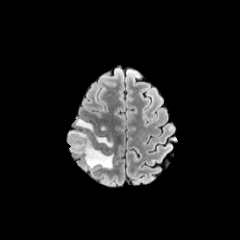
FLAIR MRI.
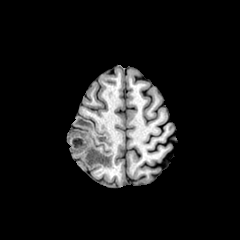
T1-weighted MRI.
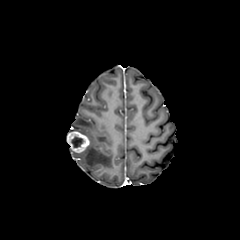
Same slice, post-contrast T1-weighted magnetic resonance.
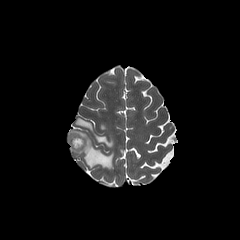
T2-weighted MRI.
240x240
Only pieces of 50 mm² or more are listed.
The 3 largest peritumoral edema regions are located at bbox=[69, 129, 113, 168]; bbox=[75, 118, 93, 131]; bbox=[95, 135, 113, 147]. The necrotic tumor core is located at bbox=[71, 136, 83, 147]. The enhancing tumor is at bbox=[67, 131, 89, 152].